FLAIR magnetic resonance.
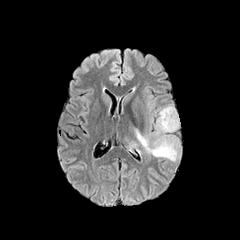
T1-weighted MR image.
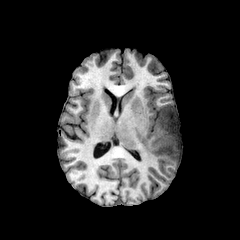
Post-contrast T1-weighted MR.
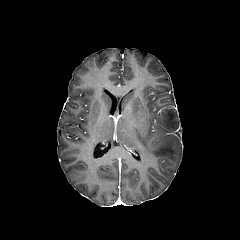
T2-weighted MR.
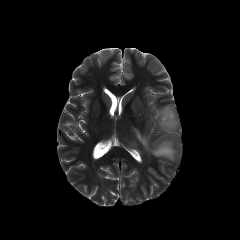
Axial plane; Image size 240x240
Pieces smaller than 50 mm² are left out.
<segmentation>
  <peritumoral_edema>l=134, t=105, r=179, b=161</peritumoral_edema>
</segmentation>